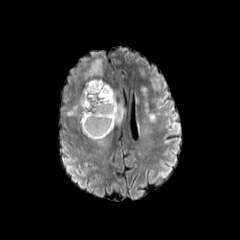
FLAIR MRI.
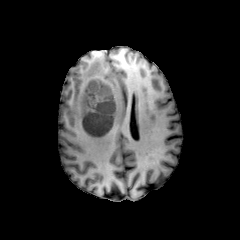
T1-weighted MRI.
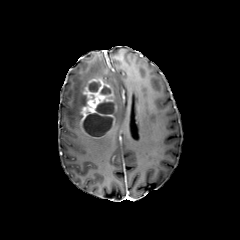
Same slice, post-contrast T1-weighted magnetic resonance.
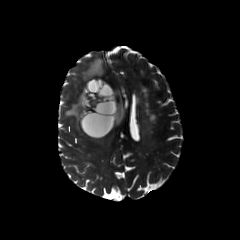
T2-weighted magnetic resonance of the same slice.
Brain
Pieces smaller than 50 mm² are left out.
<segmentation>
  <peritumoral_edema>65 86 84 129, 83 58 106 85, 111 87 126 124</peritumoral_edema>
  <necrotic_tumor_core>95 102 114 114, 89 82 100 91, 100 86 110 94, 83 113 112 136</necrotic_tumor_core>
  <enhancing_tumor>80 78 116 138</enhancing_tumor>
</segmentation>